Axial plane | Image width 240 mm, 1.00 mm slice spacing
FLAIR magnetic resonance.
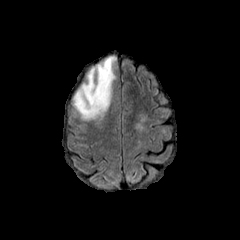
T1-weighted MR.
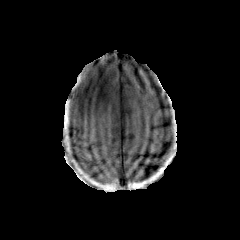
Post-contrast T1-weighted MR image.
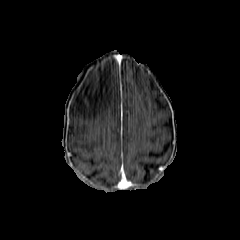
T2-weighted magnetic resonance.
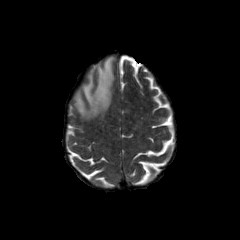
peritumoral edema: 73 56 116 120